Axial view. Slice 77 of 155. Head.
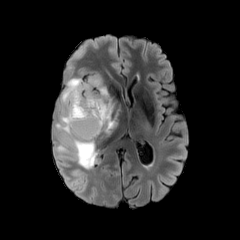
FLAIR MRI.
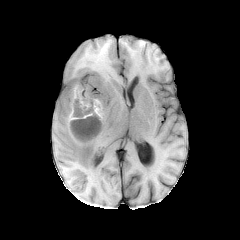
T1-weighted magnetic resonance of the same slice.
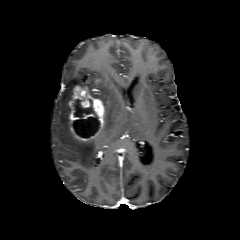
Same slice, post-contrast T1-weighted MR image.
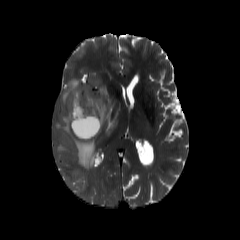
T2-weighted MRI.
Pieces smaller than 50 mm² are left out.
2 peritumoral edema regions appear at <box>55,75,116,168</box>, <box>55,144,72,156</box>. The largest enhancing tumor region lies within <box>68,85,105,141</box>. The necrotic tumor core lies within <box>73,99,99,138</box>.